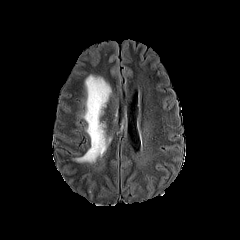
FLAIR MR image.
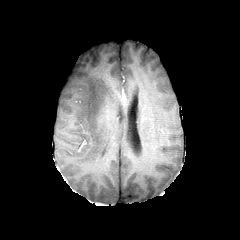
T1-weighted MR of the same slice.
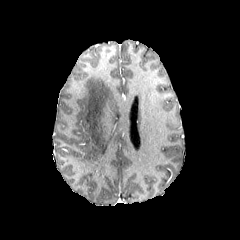
Post-contrast T1-weighted MRI.
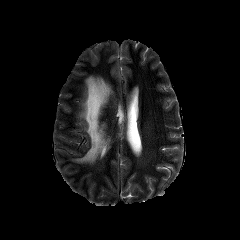
T2-weighted MR.
Head | 240x240 px
peritumoral edema — region(75, 75, 111, 162)